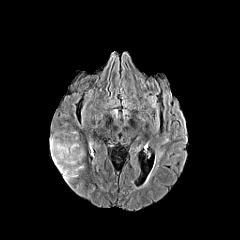
FLAIR magnetic resonance.
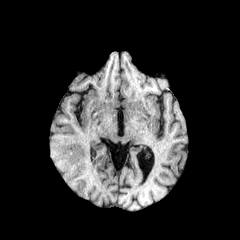
T1-weighted MR image.
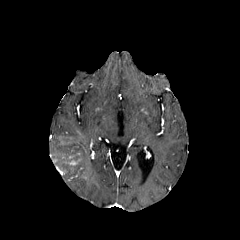
Post-contrast T1-weighted MRI.
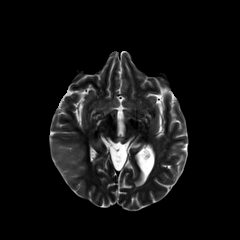
T2-weighted magnetic resonance.
Image size 240x240; Axial view
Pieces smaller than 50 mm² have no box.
enhancing tumor: bounding box (left=66, top=159, right=79, bottom=165)
peritumoral edema: bounding box (left=50, top=139, right=84, bottom=181)